Image size 240x240
FLAIR MR image.
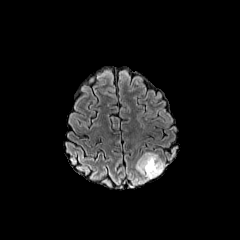
T1-weighted magnetic resonance.
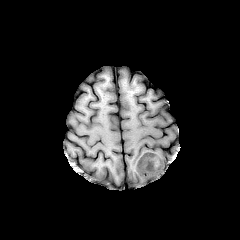
Post-contrast T1-weighted MR image.
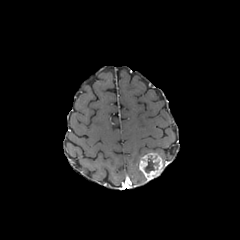
T2-weighted MR image.
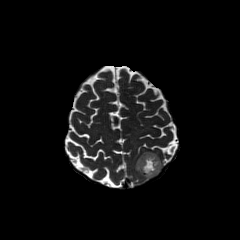
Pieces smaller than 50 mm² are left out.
{"necrotic_tumor_core": ["box=[144, 155, 159, 172]"], "peritumoral_edema": ["box=[136, 157, 146, 179]"], "enhancing_tumor": ["box=[138, 153, 163, 179]"]}